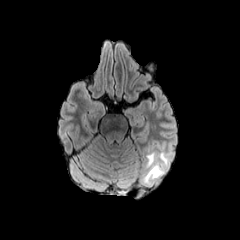
FLAIR magnetic resonance.
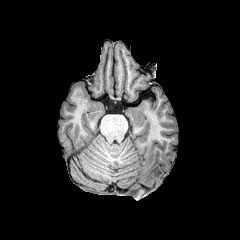
T1-weighted MR of the same slice.
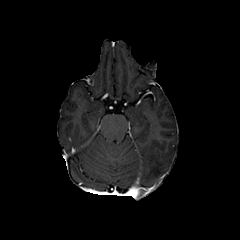
Same slice, post-contrast T1-weighted MR.
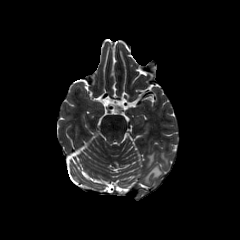
T2-weighted MR.
Axial view, 240x240
peritumoral_edema:
  - bbox(146, 152, 154, 166)
  - bbox(142, 164, 163, 184)
  - bbox(160, 152, 168, 167)